Slice 119 of 155, Axial slice
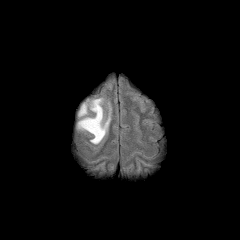
FLAIR MRI.
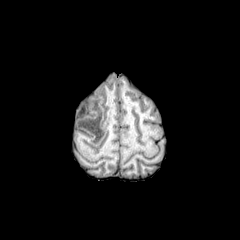
Same slice, T1-weighted MRI.
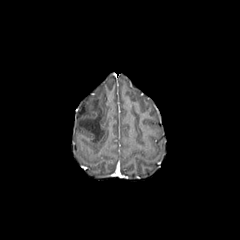
Post-contrast T1-weighted MR image.
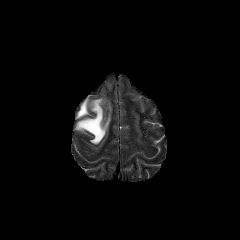
T2-weighted MRI.
• peritumoral edema: <box>77,98,111,144</box>